Brain; Axial slice; Image covers 240 mm x 240 mm
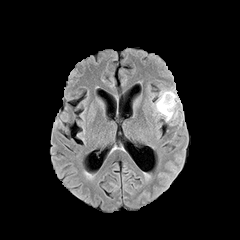
FLAIR magnetic resonance.
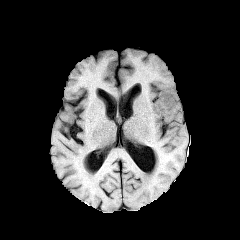
T1-weighted MR image of the same slice.
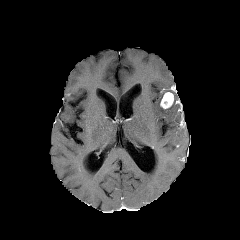
Post-contrast T1-weighted magnetic resonance of the same slice.
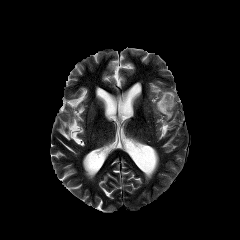
T2-weighted magnetic resonance.
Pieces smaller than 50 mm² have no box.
<segmentation>
  <enhancing_tumor>bbox(160, 86, 180, 109)</enhancing_tumor>
  <peritumoral_edema>bbox(155, 90, 177, 120)</peritumoral_edema>
</segmentation>